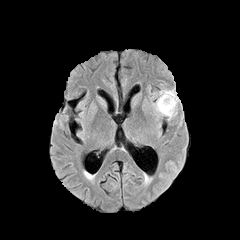
FLAIR MR.
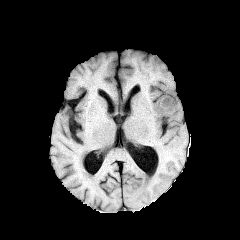
T1-weighted MRI of the same slice.
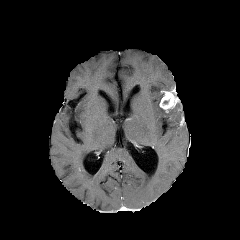
Post-contrast T1-weighted magnetic resonance.
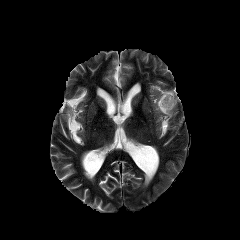
Same slice, T2-weighted MR.
Head.
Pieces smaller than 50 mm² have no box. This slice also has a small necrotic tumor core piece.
The enhancing tumor is at region(158, 88, 179, 112). The largest peritumoral edema region is bounded by region(155, 92, 175, 117).